Head. Slice index 97.
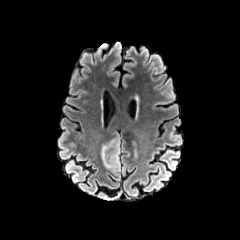
FLAIR MR.
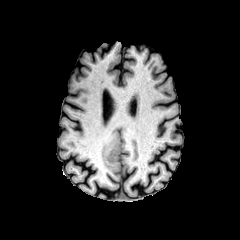
T1-weighted magnetic resonance of the same slice.
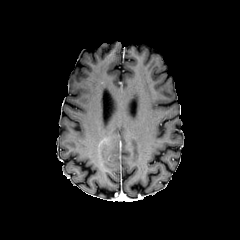
Post-contrast T1-weighted MR image.
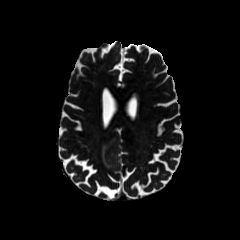
T2-weighted MR.
peritumoral edema: x1=101 y1=130 x2=120 y2=172